FLAIR magnetic resonance.
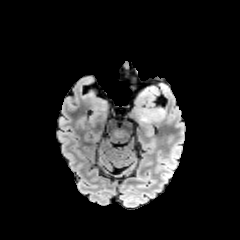
T1-weighted MR.
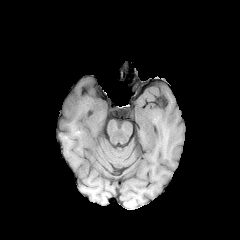
Post-contrast T1-weighted MRI.
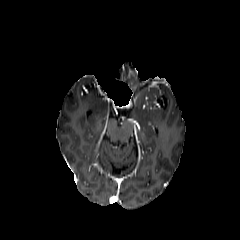
T2-weighted MR.
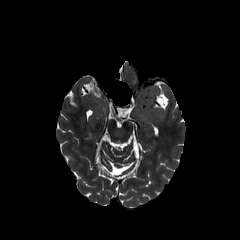
peritumoral edema at x1=131 y1=107 x2=164 y2=122, x1=136 y1=87 x2=159 y2=105, x1=160 y1=83 x2=168 y2=92